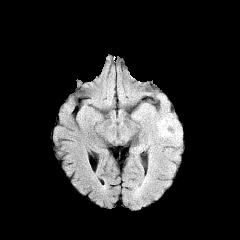
FLAIR MR image.
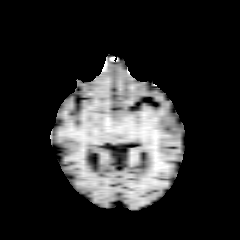
Same slice, T1-weighted MR.
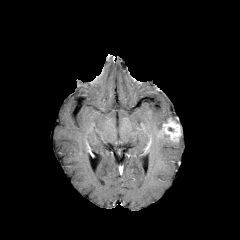
Same slice, post-contrast T1-weighted magnetic resonance.
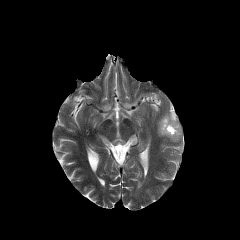
T2-weighted MRI.
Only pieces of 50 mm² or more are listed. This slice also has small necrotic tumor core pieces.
Findings:
* peritumoral edema: l=157, t=114, r=173, b=137
* enhancing tumor: l=160, t=116, r=182, b=142